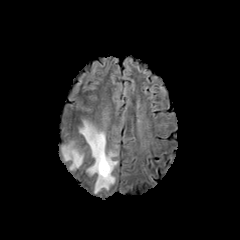
FLAIR MR.
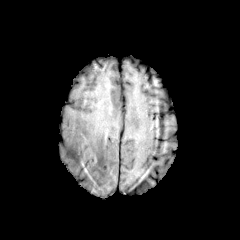
T1-weighted MRI of the same slice.
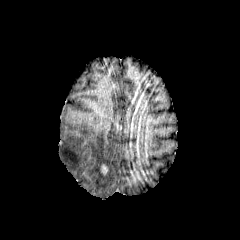
Same slice, post-contrast T1-weighted magnetic resonance.
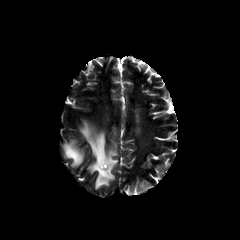
T2-weighted MR image.
Axial plane
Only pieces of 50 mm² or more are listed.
The enhancing tumor lies within x1=101 y1=164 x2=107 y2=174. The 2 largest peritumoral edema regions are located at x1=79 y1=120 x2=117 y2=192, x1=61 y1=140 x2=83 y2=169.